Brain. Image covers 240 mm x 240 mm. Slice 81/155.
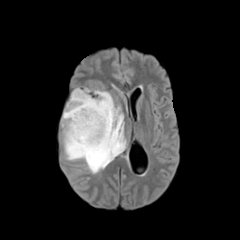
FLAIR magnetic resonance.
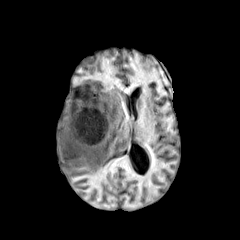
Same slice, T1-weighted MRI.
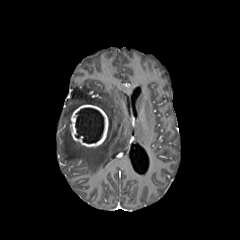
Post-contrast T1-weighted MR image.
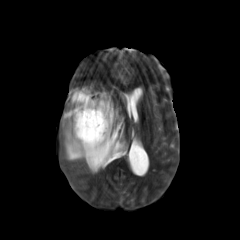
T2-weighted MR.
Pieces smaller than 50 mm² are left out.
The largest necrotic tumor core region is bounded by 75:108:104:143. The peritumoral edema is located at 62:88:126:173. The enhancing tumor is at 70:104:108:147.